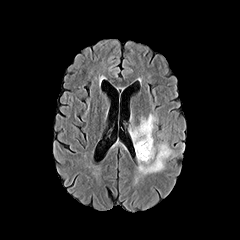
FLAIR MRI.
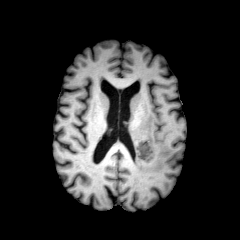
T1-weighted MR of the same slice.
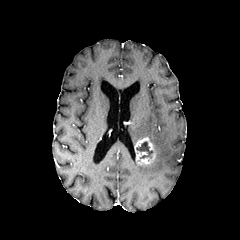
Post-contrast T1-weighted MR.
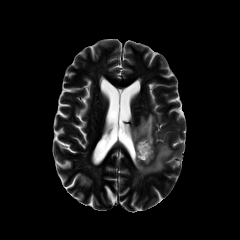
T2-weighted MR image.
Axial slice; Brain
enhancing tumor: bounding box (left=134, top=137, right=155, bottom=164)
peritumoral edema: bounding box (left=131, top=113, right=158, bottom=144), (left=134, top=141, right=174, bottom=183)
necrotic tumor core: bounding box (left=136, top=142, right=152, bottom=158)